Axial slice
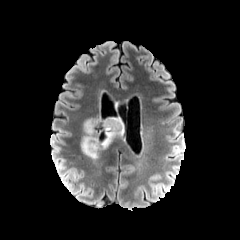
FLAIR magnetic resonance.
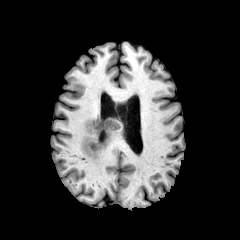
T1-weighted magnetic resonance.
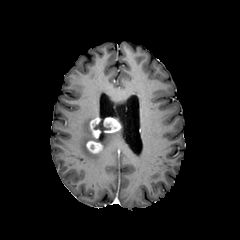
Post-contrast T1-weighted MR image of the same slice.
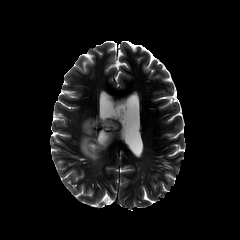
T2-weighted MR image.
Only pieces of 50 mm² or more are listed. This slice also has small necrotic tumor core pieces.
<segmentation>
  <enhancing_tumor>[90,117,100,138], [103,117,120,132], [86,141,102,153]</enhancing_tumor>
  <peritumoral_edema>[81,119,98,159], [101,123,122,149]</peritumoral_edema>
</segmentation>